Slice 74 of 155. Brain. Image width 240 mm.
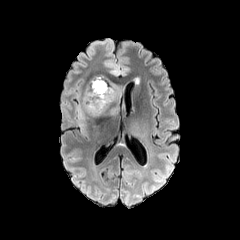
FLAIR MR image.
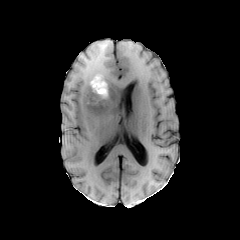
T1-weighted MRI.
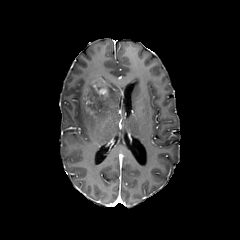
Same slice, post-contrast T1-weighted MR.
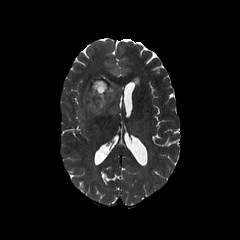
Same slice, T2-weighted MR.
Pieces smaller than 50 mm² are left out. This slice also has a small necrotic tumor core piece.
{"enhancing_tumor": ["(84, 78, 108, 103)"], "peritumoral_edema": ["(110, 66, 119, 74)", "(77, 75, 121, 131)"]}